FLAIR magnetic resonance.
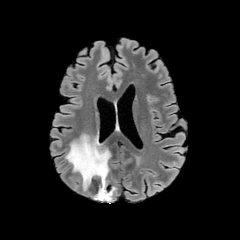
T1-weighted magnetic resonance.
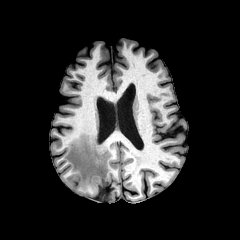
Post-contrast T1-weighted magnetic resonance.
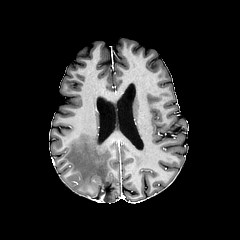
T2-weighted MR.
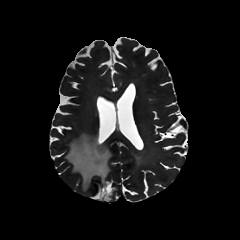
Head.
<segmentation>
  <peritumoral_edema>box(106, 187, 116, 199); box(65, 134, 111, 190)</peritumoral_edema>
</segmentation>